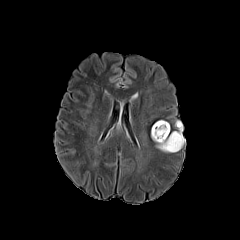
FLAIR MRI.
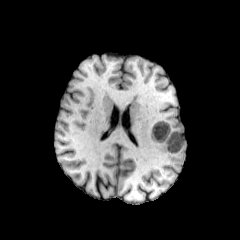
T1-weighted magnetic resonance.
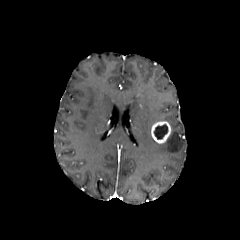
Post-contrast T1-weighted MR of the same slice.
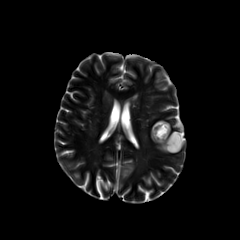
T2-weighted MRI of the same slice.
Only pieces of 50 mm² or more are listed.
Findings:
* enhancing tumor: x1=151 y1=121 x2=170 y2=143
* peritumoral edema: x1=156 y1=120 x2=185 y2=152
* necrotic tumor core: x1=153 y1=124 x2=167 y2=139